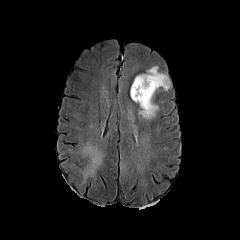
FLAIR MR.
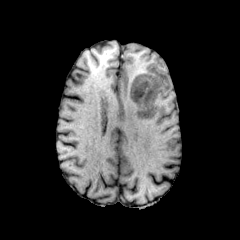
Same slice, T1-weighted magnetic resonance.
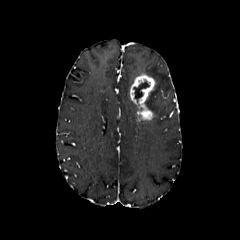
Post-contrast T1-weighted MR.
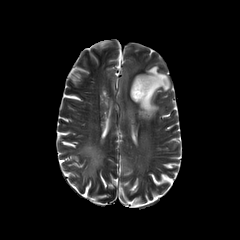
T2-weighted MRI.
The enhancing tumor lies within left=130, top=74, right=155, bottom=120. The peritumoral edema is located at left=143, top=66, right=170, bottom=115. The necrotic tumor core is at left=133, top=81, right=149, bottom=101.